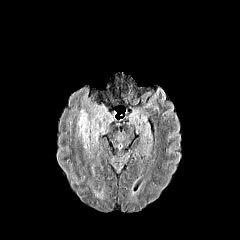
FLAIR magnetic resonance.
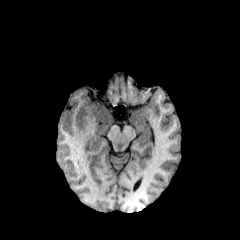
T1-weighted MRI.
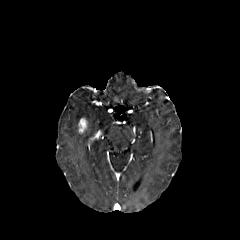
Post-contrast T1-weighted magnetic resonance of the same slice.
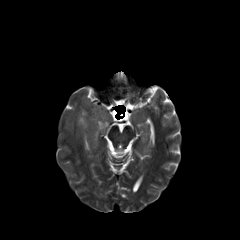
T2-weighted magnetic resonance of the same slice.
Axial view
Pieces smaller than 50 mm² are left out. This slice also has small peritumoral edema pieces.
enhancing tumor: l=78, t=117, r=88, b=133